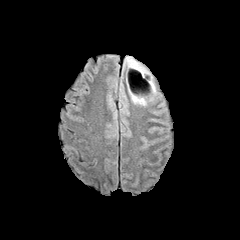
FLAIR MRI.
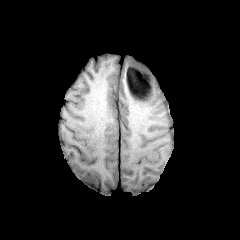
Same slice, T1-weighted MR image.
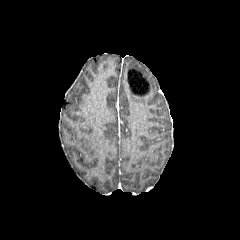
Post-contrast T1-weighted magnetic resonance.
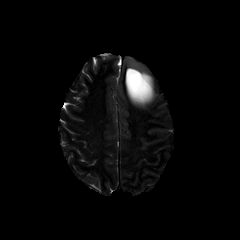
T2-weighted magnetic resonance of the same slice.
Axial slice; 240x240 px
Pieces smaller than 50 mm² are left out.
2 peritumoral edema regions are bounded by rect(130, 77, 156, 106); rect(127, 58, 148, 73). The necrotic tumor core is located at rect(127, 69, 150, 96). The largest enhancing tumor region is at rect(126, 82, 152, 100).